FLAIR MR image.
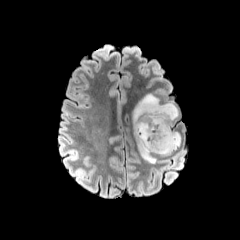
T1-weighted MR image.
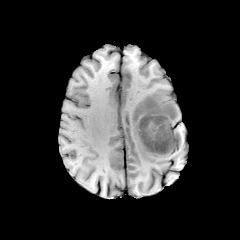
Post-contrast T1-weighted MR.
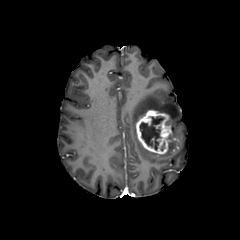
T2-weighted magnetic resonance.
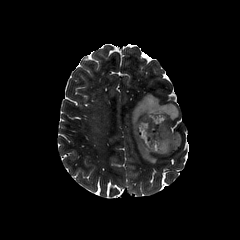
Axial slice, 240x240
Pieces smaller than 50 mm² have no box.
peritumoral edema: box(160, 147, 174, 156); box(132, 93, 179, 163); box(173, 131, 181, 146) | enhancing tumor: box(136, 110, 179, 154) | necrotic tumor core: box(139, 115, 164, 150)